Slice 103/155. Axial plane. Brain. Image width 240 mm, 1.00 mm slice spacing.
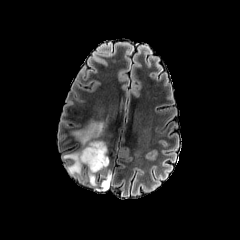
FLAIR magnetic resonance.
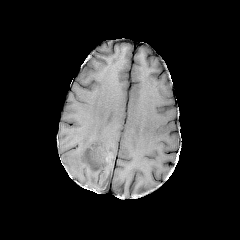
Same slice, T1-weighted MR image.
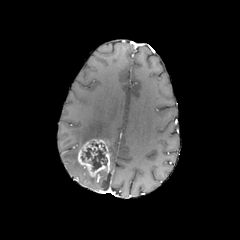
Post-contrast T1-weighted MRI.
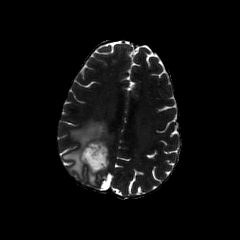
T2-weighted MR image of the same slice.
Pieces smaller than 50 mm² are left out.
enhancing tumor: bounding box 77 138 109 177
necrotic tumor core: bounding box 81 148 91 161, 91 148 107 170
peritumoral edema: bounding box 63 150 82 177, 101 174 110 188, 73 121 107 146, 88 173 95 185